FLAIR MR.
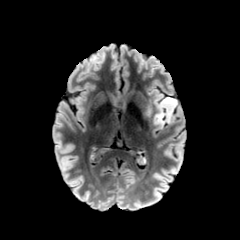
T1-weighted MR.
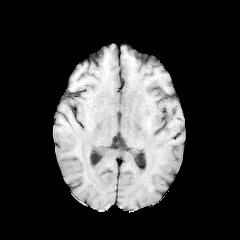
Post-contrast T1-weighted MRI.
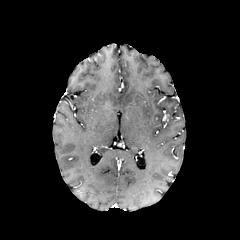
T2-weighted MRI.
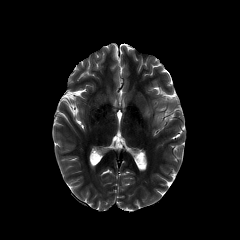
240x240 px
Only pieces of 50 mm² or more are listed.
peritumoral edema: bounding box [153,96,177,127]